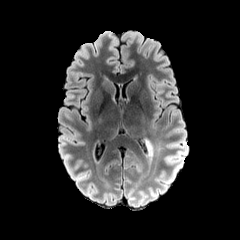
FLAIR MR image.
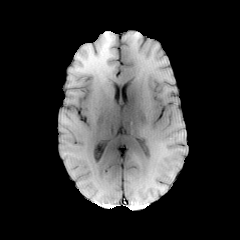
Same slice, T1-weighted magnetic resonance.
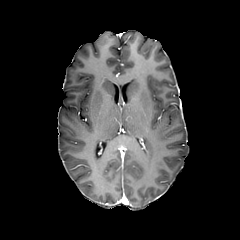
Post-contrast T1-weighted MRI of the same slice.
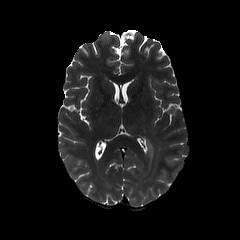
T2-weighted MRI of the same slice.
Image size 240x240
peritumoral edema: bounding box {"x1": 145, "y1": 141, "x2": 152, "y2": 155}